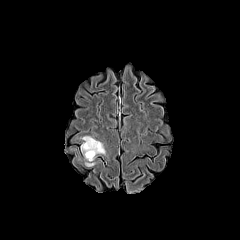
FLAIR MR image.
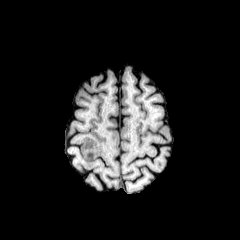
T1-weighted magnetic resonance.
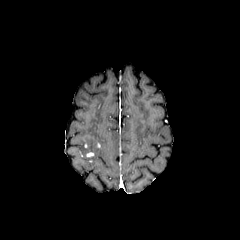
Post-contrast T1-weighted magnetic resonance.
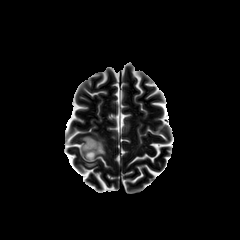
T2-weighted MR image.
240x240 | Axial view
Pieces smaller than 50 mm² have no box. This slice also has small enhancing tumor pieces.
{"peritumoral_edema": ["bbox=[81, 136, 105, 160]"]}